FLAIR MR image.
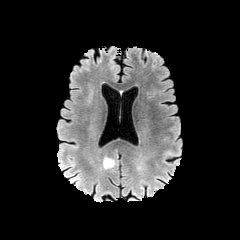
T1-weighted MR.
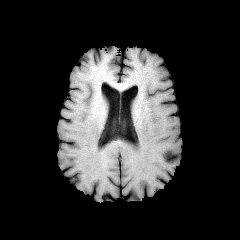
Post-contrast T1-weighted MR image.
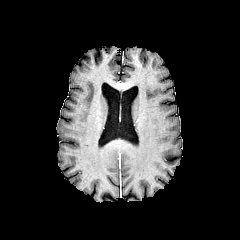
T2-weighted MRI.
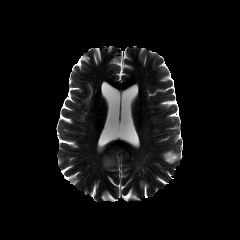
Axial plane. Image size 240x240.
<segmentation>
  <peritumoral_edema>bbox=[103, 156, 116, 169]</peritumoral_edema>
</segmentation>